FLAIR MR.
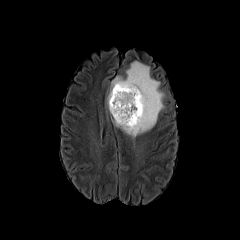
T1-weighted MRI.
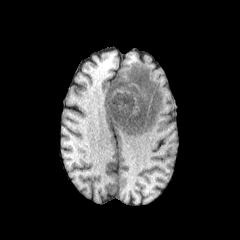
Post-contrast T1-weighted MR.
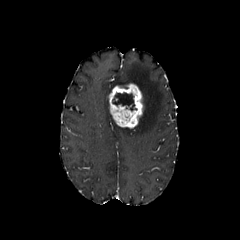
T2-weighted magnetic resonance.
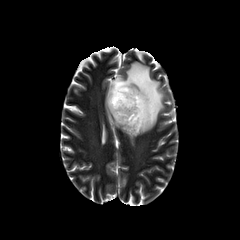
Axial view.
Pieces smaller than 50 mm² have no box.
<segmentation>
  <peritumoral_edema>{"x1": 109, "y1": 61, "x2": 165, "y2": 138}</peritumoral_edema>
  <enhancing_tumor>{"x1": 108, "y1": 83, "x2": 143, "y2": 128}</enhancing_tumor>
  <necrotic_tumor_core>{"x1": 112, "y1": 92, "x2": 137, "y2": 110}</necrotic_tumor_core>
</segmentation>